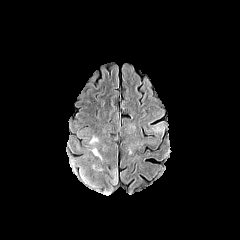
FLAIR magnetic resonance.
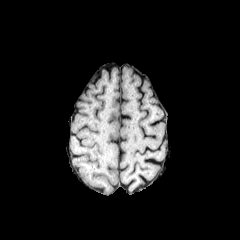
T1-weighted MR.
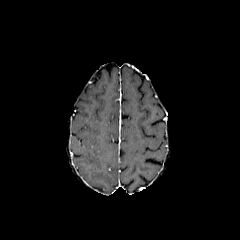
Same slice, post-contrast T1-weighted magnetic resonance.
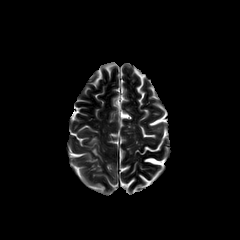
T2-weighted MR.
Brain
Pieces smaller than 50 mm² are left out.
Findings:
* peritumoral edema: x1=152, y1=127, x2=161, y2=133